FLAIR magnetic resonance.
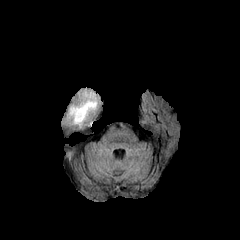
T1-weighted MR image.
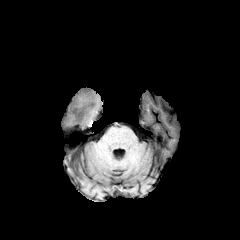
Post-contrast T1-weighted MRI.
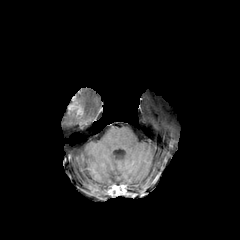
T2-weighted magnetic resonance.
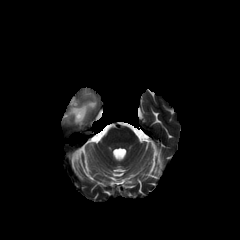
Brain
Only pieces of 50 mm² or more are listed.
peritumoral edema = [63, 88, 98, 127]
enhancing tumor = [68, 97, 83, 118]